FLAIR MR.
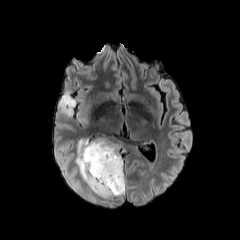
T1-weighted MR.
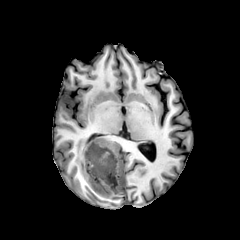
Post-contrast T1-weighted MR image.
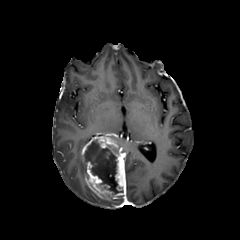
T2-weighted magnetic resonance.
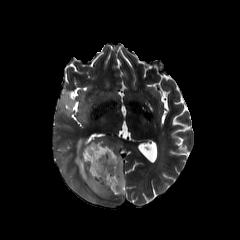
Brain
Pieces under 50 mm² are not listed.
The 3 largest peritumoral edema regions appear at bbox=[59, 90, 75, 115]; bbox=[75, 139, 88, 181]; bbox=[87, 187, 99, 202]. The enhancing tumor lies within bbox=[81, 135, 125, 199]. The largest necrotic tumor core region is located at bbox=[84, 140, 123, 194].